Slice 75 of 155. Image width 240 mm. Brain. Axial plane. Image size 240x240.
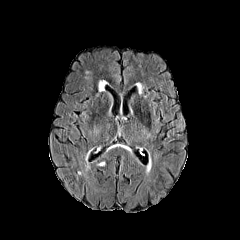
FLAIR MR.
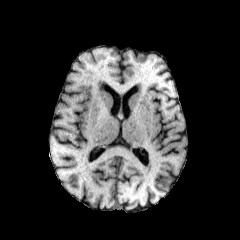
T1-weighted magnetic resonance.
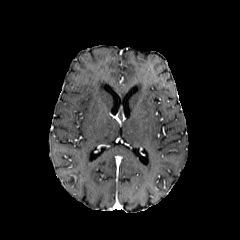
Post-contrast T1-weighted magnetic resonance of the same slice.
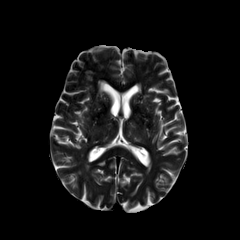
Same slice, T2-weighted MR image.
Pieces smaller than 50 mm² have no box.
peritumoral_edema:
  - [99, 81, 106, 91]